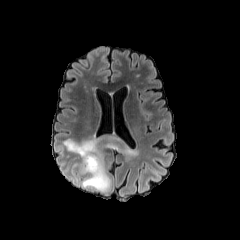
FLAIR magnetic resonance.
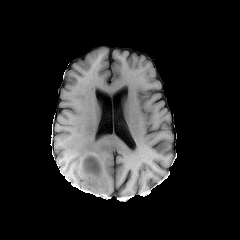
T1-weighted MR.
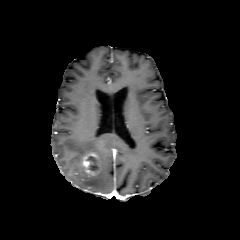
Post-contrast T1-weighted MR image of the same slice.
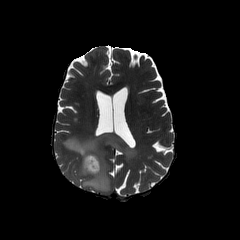
T2-weighted MRI.
Axial view.
<segmentation>
  <peritumoral_edema>box(63, 133, 139, 191)</peritumoral_edema>
  <necrotic_tumor_core>box(88, 156, 97, 170)</necrotic_tumor_core>
  <enhancing_tumor>box(82, 153, 99, 175)</enhancing_tumor>
</segmentation>